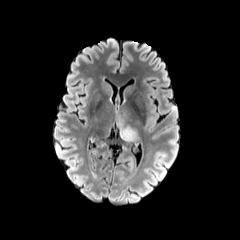
FLAIR MRI.
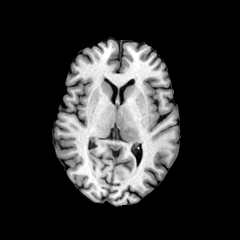
T1-weighted magnetic resonance of the same slice.
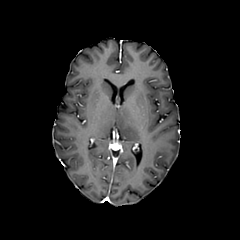
Post-contrast T1-weighted MR.
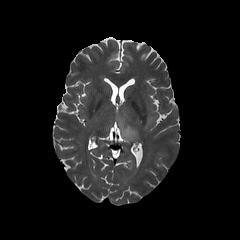
T2-weighted magnetic resonance.
Image size 240x240. Brain.
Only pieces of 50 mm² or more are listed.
The 2 largest peritumoral edema regions are located at [116, 107, 138, 142], [145, 107, 154, 131].